FLAIR MR.
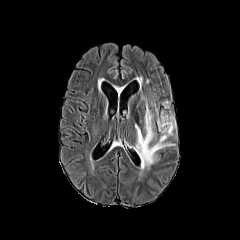
T1-weighted MRI.
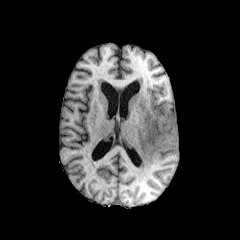
Post-contrast T1-weighted MR.
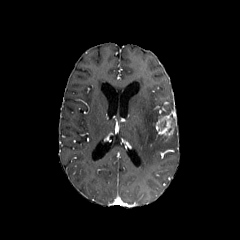
T2-weighted magnetic resonance.
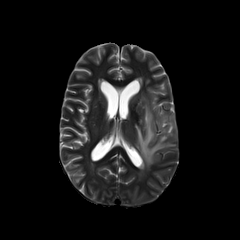
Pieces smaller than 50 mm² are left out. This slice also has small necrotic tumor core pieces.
The largest enhancing tumor region is bounded by 156 114 176 138. The largest peritumoral edema region lies within 135 97 175 168.